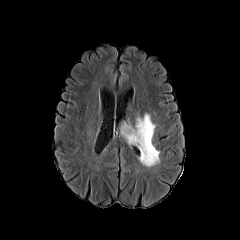
FLAIR MR.
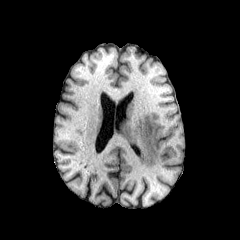
Same slice, T1-weighted MR.
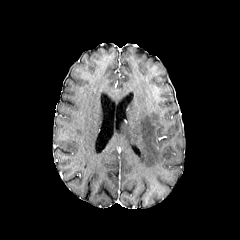
Post-contrast T1-weighted magnetic resonance.
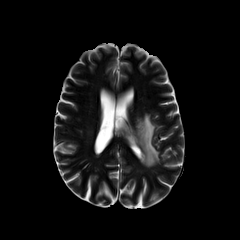
T2-weighted MR of the same slice.
Brain | Axial plane
The peritumoral edema is bounded by box=[120, 114, 159, 167].